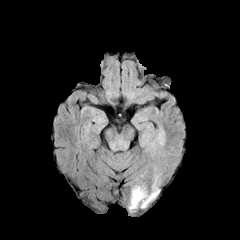
FLAIR MR image.
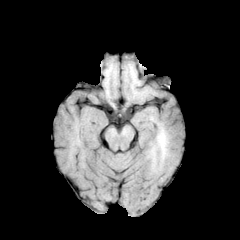
Same slice, T1-weighted magnetic resonance.
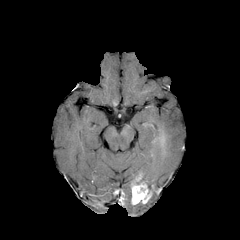
Post-contrast T1-weighted MRI.
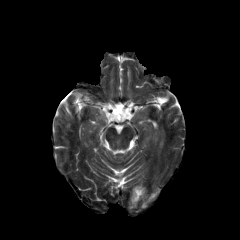
T2-weighted magnetic resonance of the same slice.
Image size 240x240
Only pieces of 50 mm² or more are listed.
enhancing tumor — x1=131, y1=184, x2=151, y2=204
peritumoral edema — x1=141, y1=185, x2=157, y2=208